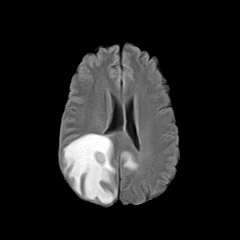
FLAIR MR image.
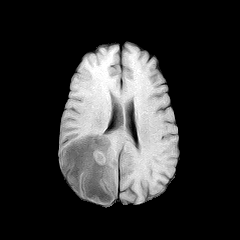
Same slice, T1-weighted MRI.
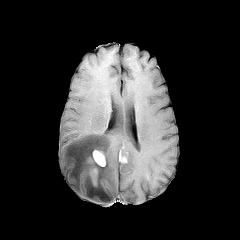
Same slice, post-contrast T1-weighted MR image.
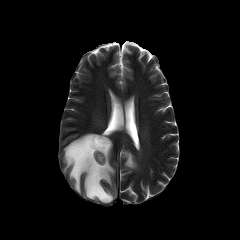
Same slice, T2-weighted MR.
240x240. Axial plane.
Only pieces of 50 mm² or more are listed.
peritumoral_edema:
  - (122,151,137,169)
  - (63,133,116,203)
enhancing_tumor:
  - (91,168,97,185)
  - (91,150,105,166)